Slice 103/155; Brain; Axial plane
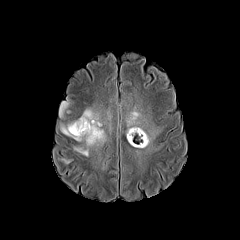
FLAIR MR.
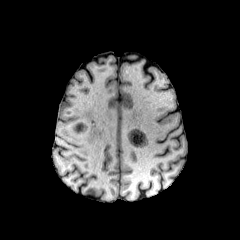
Same slice, T1-weighted MR.
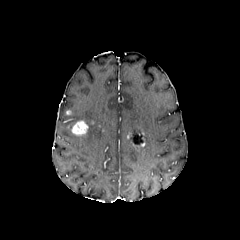
Post-contrast T1-weighted MR image.
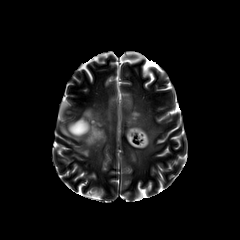
T2-weighted MR.
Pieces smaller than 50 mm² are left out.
{
  "necrotic_tumor_core": [
    "[x1=130, y1=134, x2=143, y2=144]"
  ],
  "peritumoral_edema": [
    "[x1=126, y1=126, x2=154, y2=148]",
    "[x1=60, y1=101, x2=69, y2=116]",
    "[x1=126, y1=110, x2=140, y2=125]",
    "[x1=60, y1=108, x2=106, y2=156]"
  ],
  "enhancing_tumor": [
    "[x1=70, y1=120, x2=88, y2=136]",
    "[x1=127, y1=131, x2=145, y2=146]"
  ]
}